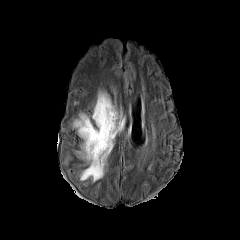
FLAIR magnetic resonance.
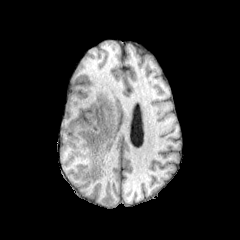
T1-weighted MRI.
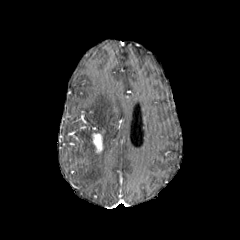
Post-contrast T1-weighted MRI.
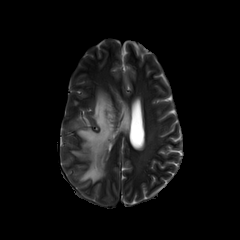
T2-weighted magnetic resonance.
Axial slice. Image size 240x240.
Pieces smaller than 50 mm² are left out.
The largest peritumoral edema region is bounded by 73 91 123 182. The enhancing tumor lies within 92 133 103 152.